FLAIR magnetic resonance.
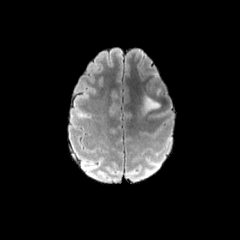
T1-weighted MRI.
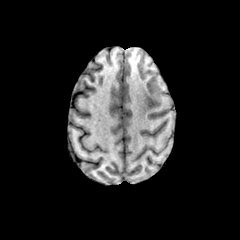
Post-contrast T1-weighted MR image.
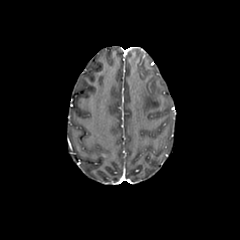
T2-weighted MR image.
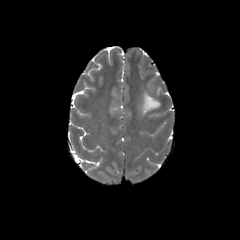
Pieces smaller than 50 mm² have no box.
The largest peritumoral edema region lies within 142 95 159 114.